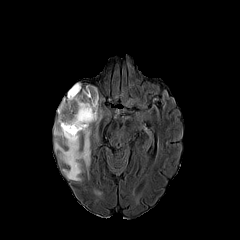
FLAIR MR.
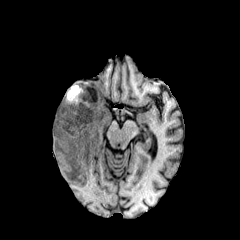
T1-weighted MR image.
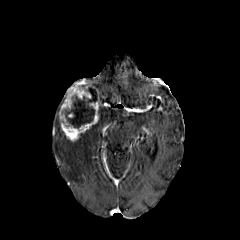
Post-contrast T1-weighted MRI of the same slice.
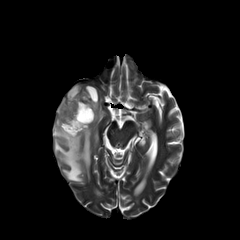
T2-weighted MR.
Axial view
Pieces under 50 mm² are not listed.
The largest peritumoral edema region is at bbox=[54, 116, 91, 181]. The largest necrotic tumor core region lies within bbox=[65, 85, 97, 128]. The 2 largest enhancing tumor regions are located at bbox=[58, 89, 99, 141]; bbox=[75, 82, 95, 99].